FLAIR magnetic resonance.
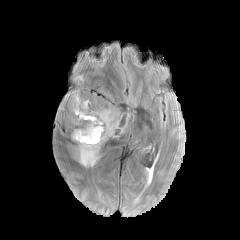
T1-weighted magnetic resonance.
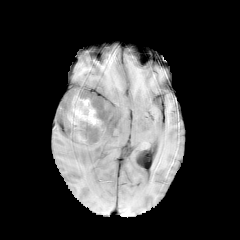
Post-contrast T1-weighted MR image.
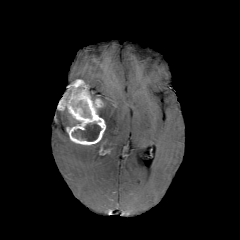
T2-weighted MR.
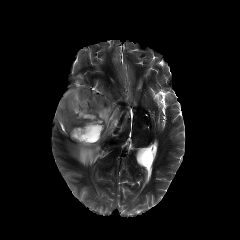
Axial view
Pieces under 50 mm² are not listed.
peritumoral edema = (74,106,118,166), (69,114,80,126)
necrotic tumor core = (72,100,90,116), (72,123,101,141)
enhancing tumor = (58,79,105,145)